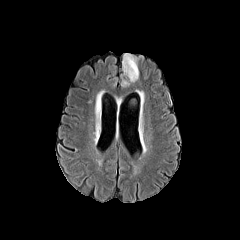
FLAIR MRI.
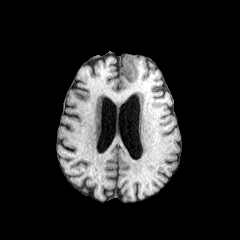
T1-weighted magnetic resonance.
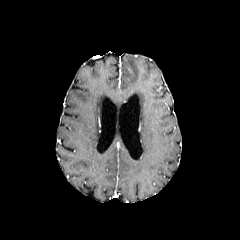
Post-contrast T1-weighted MR image.
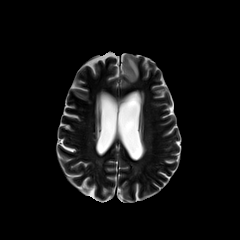
T2-weighted magnetic resonance of the same slice.
Axial slice. Image size 240x240. Head.
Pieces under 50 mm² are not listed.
The largest peritumoral edema region is located at (122, 53, 138, 82).